Head; 240x240; Slice 74 of 155
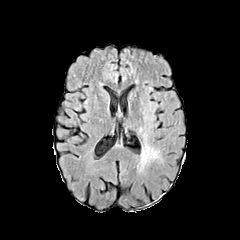
FLAIR MRI.
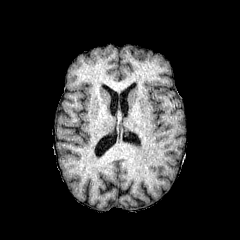
T1-weighted MR.
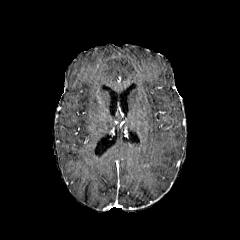
Same slice, post-contrast T1-weighted MR.
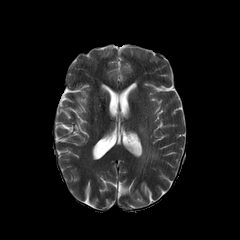
T2-weighted MR image.
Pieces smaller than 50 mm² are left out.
{"peritumoral_edema": ["l=141, t=144, r=157, b=166"]}